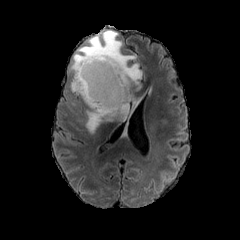
FLAIR MR image.
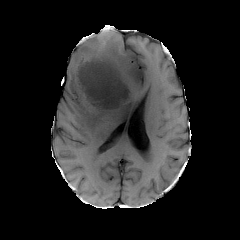
T1-weighted MRI.
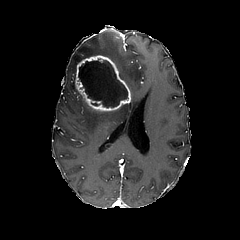
Post-contrast T1-weighted MRI.
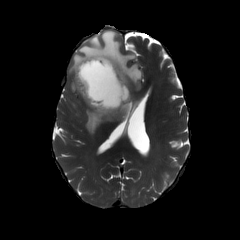
Same slice, T2-weighted MRI.
Brain.
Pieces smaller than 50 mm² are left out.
<segmentation>
  <peritumoral_edema>69 31 141 94, 85 91 136 132</peritumoral_edema>
  <enhancing_tumor>75 54 131 112</enhancing_tumor>
  <necrotic_tumor_core>78 59 127 107</necrotic_tumor_core>
</segmentation>